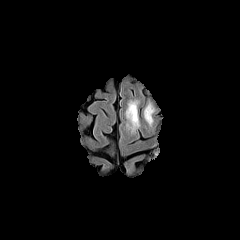
FLAIR MR image.
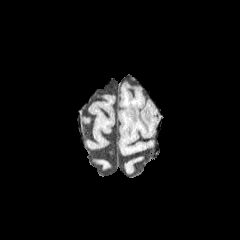
T1-weighted magnetic resonance of the same slice.
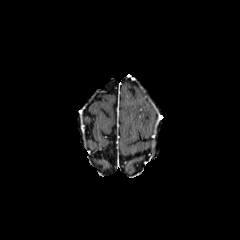
Post-contrast T1-weighted MR.
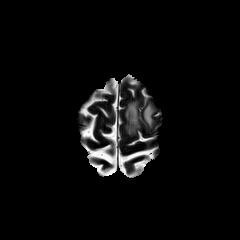
T2-weighted MR.
Brain. Axial slice.
• peritumoral edema: bbox=[144, 104, 153, 126]; bbox=[125, 101, 139, 132]